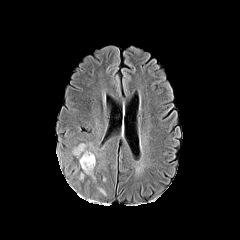
FLAIR MR image.
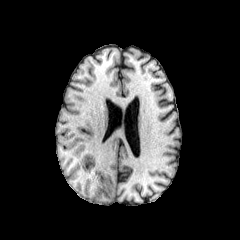
T1-weighted MR image of the same slice.
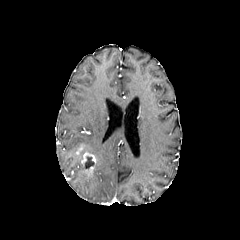
Post-contrast T1-weighted MRI.
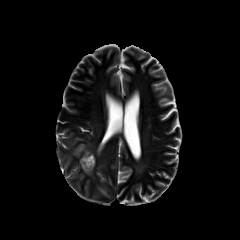
Same slice, T2-weighted magnetic resonance.
240x240; Head; Axial plane
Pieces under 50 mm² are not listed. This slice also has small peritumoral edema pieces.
necrotic_tumor_core:
  - <box>84,157,94,168</box>
enhancing_tumor:
  - <box>81,152,95,166</box>
  - <box>84,166,94,173</box>